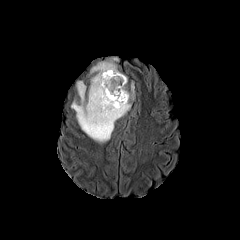
FLAIR magnetic resonance.
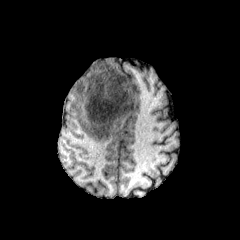
T1-weighted magnetic resonance.
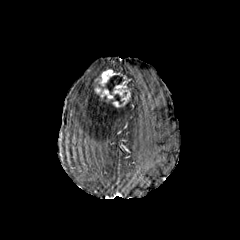
Post-contrast T1-weighted MRI.
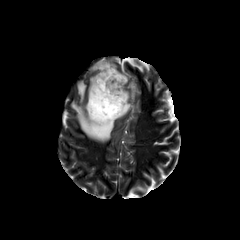
T2-weighted MR image.
Head
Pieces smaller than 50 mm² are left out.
The 2 largest enhancing tumor regions appear at {"x1": 95, "y1": 69, "x2": 120, "y2": 86}, {"x1": 94, "y1": 75, "x2": 130, "y2": 107}. The 2 largest necrotic tumor core regions are located at {"x1": 97, "y1": 94, "x2": 124, "y2": 107}, {"x1": 94, "y1": 75, "x2": 125, "y2": 94}. The 2 largest peritumoral edema regions appear at {"x1": 71, "y1": 60, "x2": 130, "y2": 142}, {"x1": 130, "y1": 82, "x2": 134, "y2": 101}.